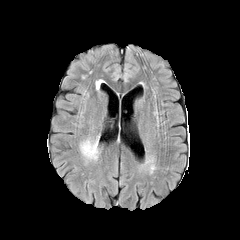
FLAIR magnetic resonance.
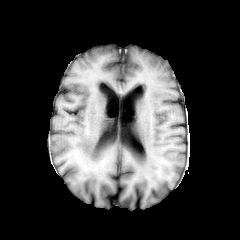
Same slice, T1-weighted MR image.
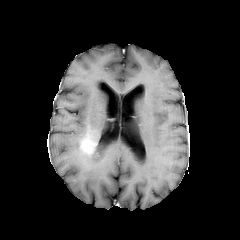
Post-contrast T1-weighted MR image.
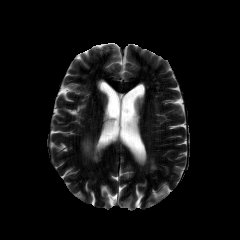
T2-weighted magnetic resonance.
240x240 px; Axial slice
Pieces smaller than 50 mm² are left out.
The largest peritumoral edema region is bounded by (80, 143, 98, 160). The enhancing tumor is bounded by (81, 138, 97, 155).